FLAIR magnetic resonance.
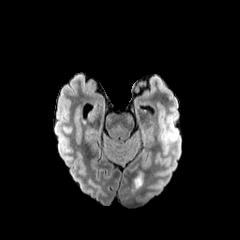
T1-weighted magnetic resonance.
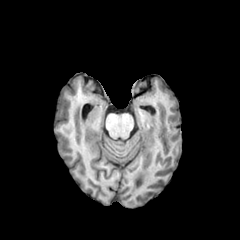
Post-contrast T1-weighted MR.
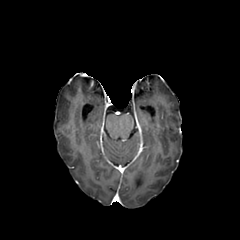
T2-weighted magnetic resonance.
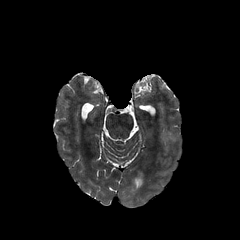
Brain; 240x240 px; Axial view
The peritumoral edema is at 160:125:177:144.